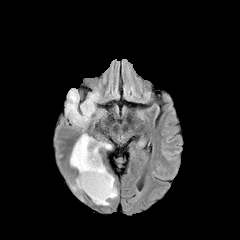
FLAIR MR.
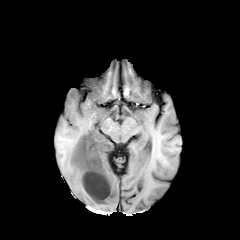
T1-weighted MRI.
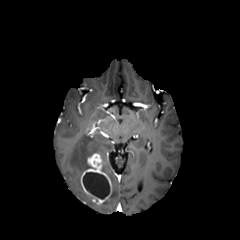
Post-contrast T1-weighted magnetic resonance.
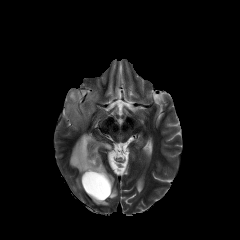
T2-weighted magnetic resonance.
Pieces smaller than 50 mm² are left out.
The necrotic tumor core appears at bbox=[83, 172, 109, 199]. The enhancing tumor is at bbox=[80, 153, 112, 204]. The 3 largest peritumoral edema regions appear at bbox=[70, 134, 111, 190]; bbox=[65, 88, 97, 126]; bbox=[102, 164, 117, 198].